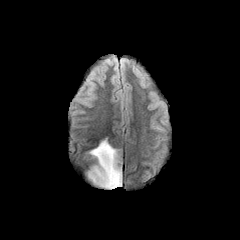
FLAIR MR.
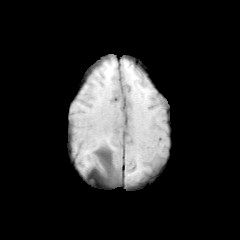
T1-weighted magnetic resonance.
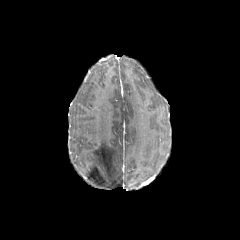
Post-contrast T1-weighted MRI of the same slice.
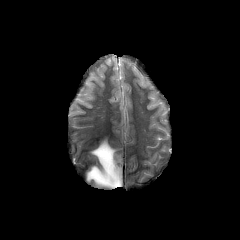
T2-weighted MR of the same slice.
Head.
The peritumoral edema is bounded by (86,139,121,189).